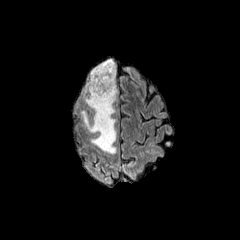
FLAIR MR image.
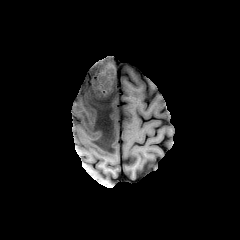
Same slice, T1-weighted MRI.
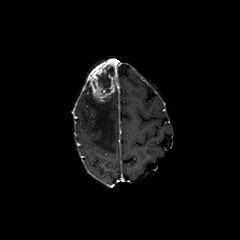
Post-contrast T1-weighted magnetic resonance of the same slice.
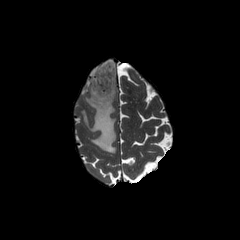
T2-weighted MR.
Axial plane.
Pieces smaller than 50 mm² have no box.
Annotated regions:
- peritumoral edema: rect(88, 60, 106, 79); rect(81, 83, 117, 153)
- enhancing tumor: rect(87, 59, 117, 102)
- necrotic tumor core: rect(96, 65, 114, 92)